Brain.
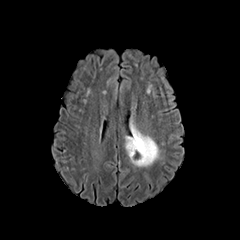
FLAIR MR.
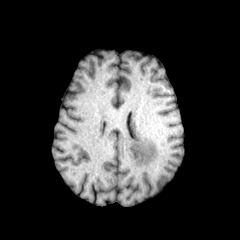
T1-weighted magnetic resonance.
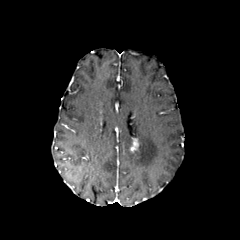
Post-contrast T1-weighted MR.
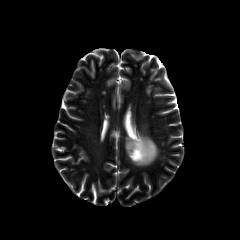
Same slice, T2-weighted magnetic resonance.
Segmented structures:
* enhancing tumor: region(130, 138, 138, 152)
* peritumoral edema: region(125, 124, 159, 166)